FLAIR MR image.
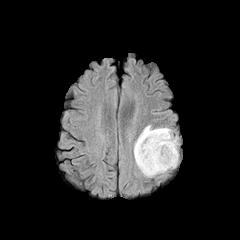
T1-weighted MR image.
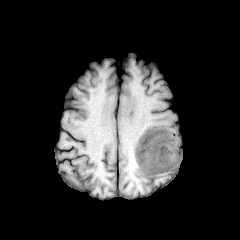
Post-contrast T1-weighted MR.
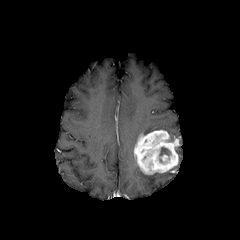
T2-weighted MR image.
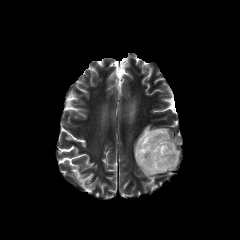
240x240 px. Axial view.
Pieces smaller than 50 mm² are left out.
The necrotic tumor core appears at (160, 147, 169, 155). The enhancing tumor is located at (134, 130, 179, 174). The largest peritumoral edema region is located at (141, 125, 177, 140).